Axial slice; Image width 240 mm; Head
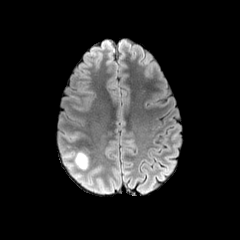
FLAIR MR.
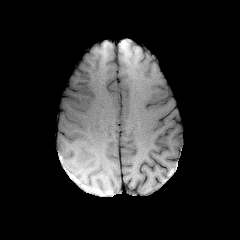
T1-weighted MR of the same slice.
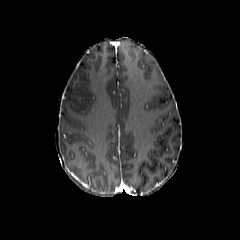
Post-contrast T1-weighted magnetic resonance of the same slice.
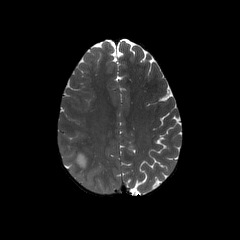
Same slice, T2-weighted MRI.
- peritumoral edema: {"x1": 74, "y1": 151, "x2": 88, "y2": 169}